Axial view
FLAIR MRI.
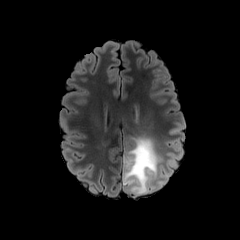
T1-weighted MR.
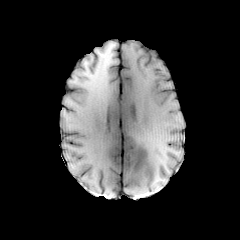
Post-contrast T1-weighted MRI.
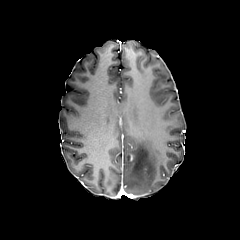
T2-weighted MRI.
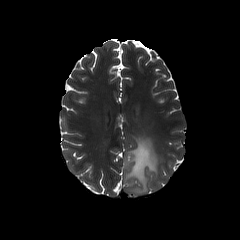
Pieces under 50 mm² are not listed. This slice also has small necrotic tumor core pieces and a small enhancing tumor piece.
peritumoral_edema:
  - (x1=122, y1=137, x2=168, y2=194)